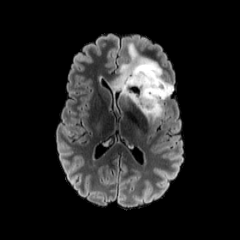
FLAIR MR.
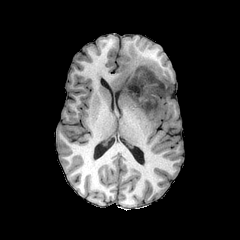
T1-weighted magnetic resonance.
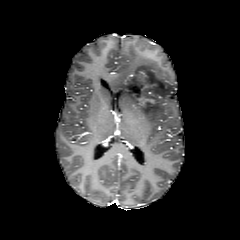
Post-contrast T1-weighted MR image of the same slice.
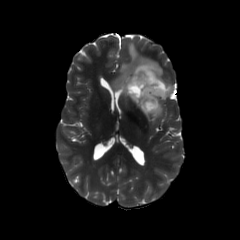
T2-weighted magnetic resonance of the same slice.
Head | Image size 240x240
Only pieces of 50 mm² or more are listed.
<segmentation>
  <necrotic_tumor_core>129, 86, 139, 93</necrotic_tumor_core>
  <enhancing_tumor>127, 71, 146, 80; 136, 97, 156, 107</enhancing_tumor>
  <peritumoral_edema>112, 42, 173, 120</peritumoral_edema>
</segmentation>